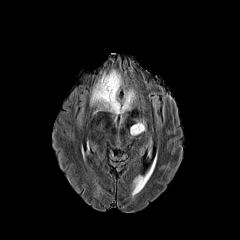
FLAIR MR.
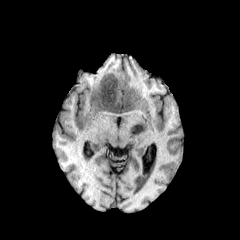
Same slice, T1-weighted magnetic resonance.
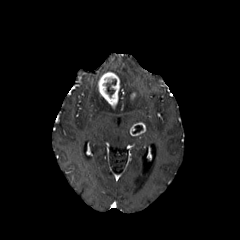
Post-contrast T1-weighted magnetic resonance of the same slice.
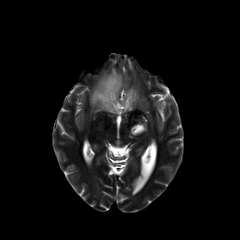
T2-weighted MR of the same slice.
Brain
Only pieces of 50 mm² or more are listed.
* necrotic tumor core: rect(132, 125, 142, 133); rect(106, 79, 116, 96)
* enhancing tumor: rect(98, 72, 120, 108); rect(130, 122, 145, 135)
* peritumoral edema: rect(108, 68, 123, 89); rect(90, 81, 137, 116)